240x240 px, Slice index 110, Axial slice, Image width 240 mm
FLAIR MRI.
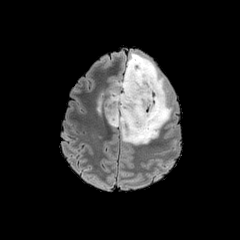
T1-weighted MR.
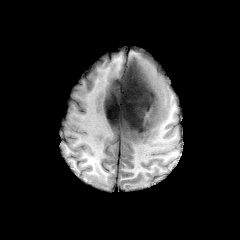
Post-contrast T1-weighted MR image.
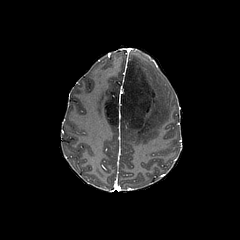
T2-weighted magnetic resonance.
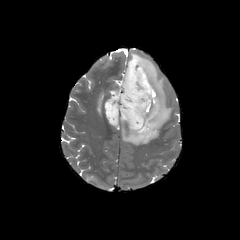
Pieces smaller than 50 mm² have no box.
peritumoral edema = left=120, top=53, right=172, bottom=144; left=97, top=96, right=101, bottom=112; left=108, top=80, right=121, bottom=98
necrotic tumor core = left=105, top=60, right=155, bottom=132